Brain.
FLAIR MR image.
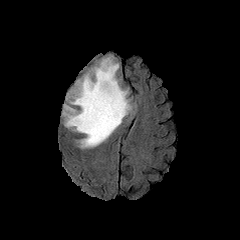
T1-weighted MR.
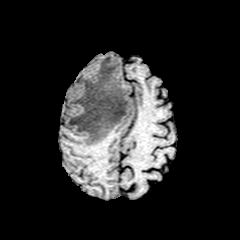
Post-contrast T1-weighted MR.
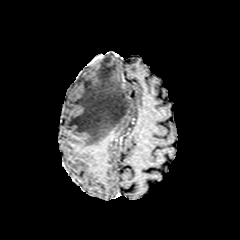
T2-weighted MRI.
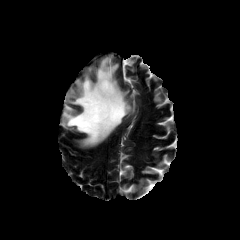
The peritumoral edema appears at (left=63, top=55, right=133, bottom=148).